FLAIR magnetic resonance.
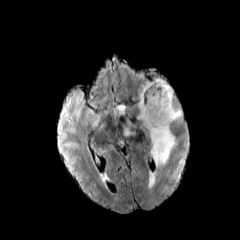
T1-weighted magnetic resonance.
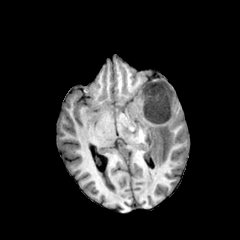
Post-contrast T1-weighted MRI.
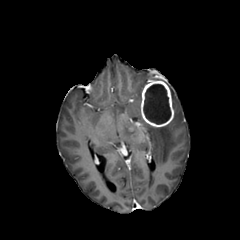
T2-weighted MR.
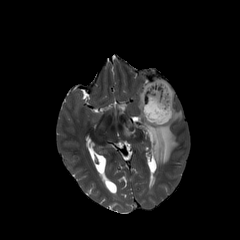
Brain; Image size 240x240
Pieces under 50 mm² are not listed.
necrotic tumor core: bounding box l=143, t=84, r=170, b=124
enhancing tumor: bounding box l=140, t=80, r=174, b=127
peritumoral edema: bounding box l=138, t=91, r=142, b=119; l=144, t=108, r=181, b=165